FLAIR MR.
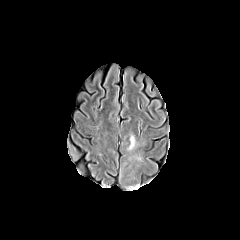
T1-weighted MRI.
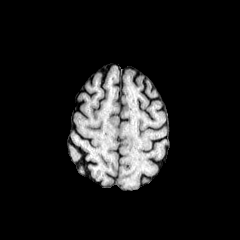
Post-contrast T1-weighted MR.
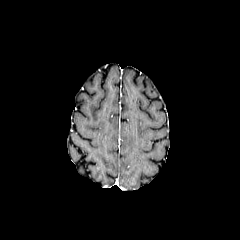
T2-weighted MRI.
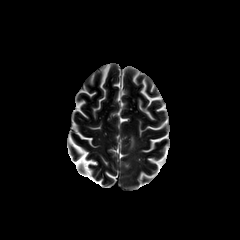
Image size 240x240, Axial plane, Head
The peritumoral edema is at 129,136,135,149.